FLAIR magnetic resonance.
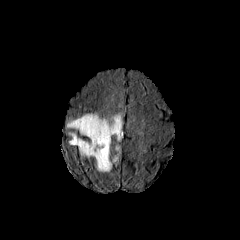
T1-weighted MR image.
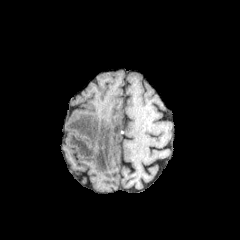
Post-contrast T1-weighted MR image.
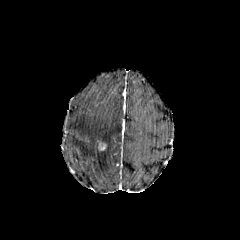
T2-weighted magnetic resonance.
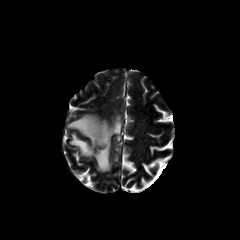
Brain | Axial plane
enhancing tumor: 97:140:106:150 | peritumoral edema: 65:111:123:172